FLAIR magnetic resonance.
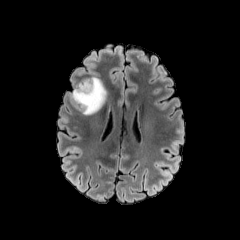
T1-weighted magnetic resonance.
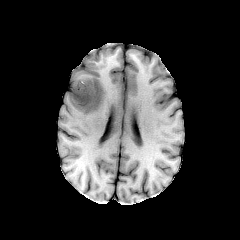
Post-contrast T1-weighted MR.
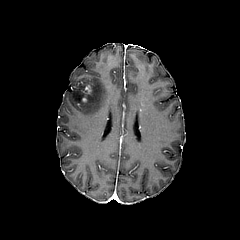
T2-weighted MR image.
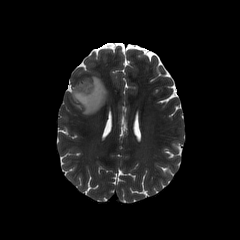
240x240.
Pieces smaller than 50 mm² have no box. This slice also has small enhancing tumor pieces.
<segmentation>
  <peritumoral_edema>box=[70, 76, 106, 115]</peritumoral_edema>
</segmentation>